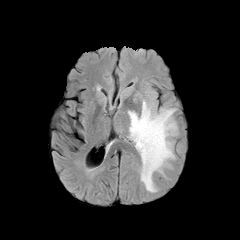
FLAIR magnetic resonance.
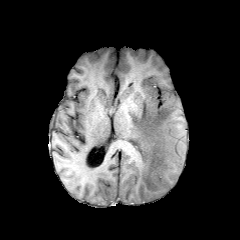
T1-weighted magnetic resonance.
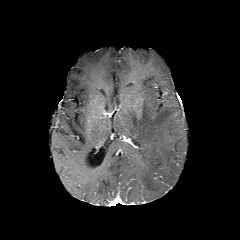
Post-contrast T1-weighted MR image of the same slice.
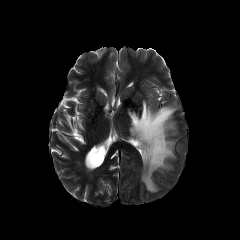
T2-weighted MRI.
The peritumoral edema is at left=128, top=100, right=177, bottom=192.